Head, 240x240, Axial view, Image covers 240 mm x 240 mm
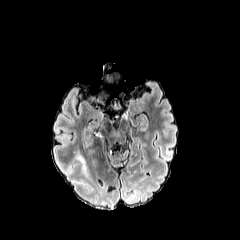
FLAIR magnetic resonance.
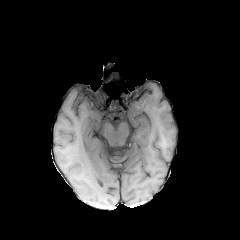
T1-weighted MR.
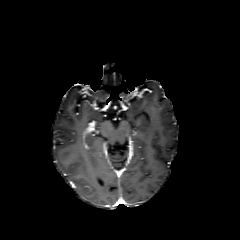
Post-contrast T1-weighted magnetic resonance.
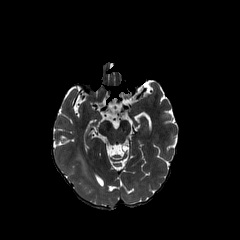
Same slice, T2-weighted MRI.
peritumoral edema — [77,154,85,172]